Slice 76 of 155 | Image width 240 mm, 1.00 mm slice spacing | Axial plane | Head
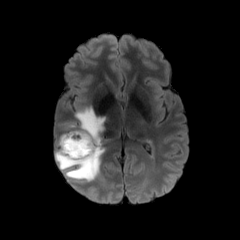
FLAIR MR.
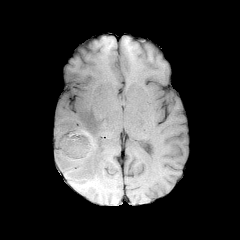
T1-weighted MR.
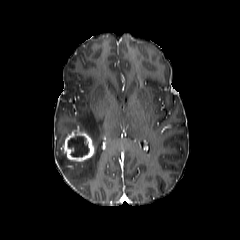
Post-contrast T1-weighted MRI.
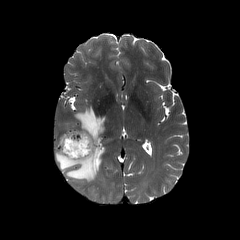
T2-weighted MR image.
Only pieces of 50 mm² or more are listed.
* necrotic tumor core: l=68, t=136, r=89, b=156
* enhancing tumor: l=61, t=131, r=95, b=161
* peritumoral edema: l=55, t=107, r=104, b=182